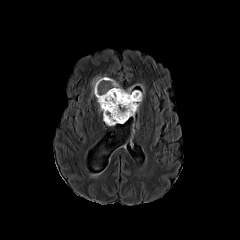
FLAIR MR image.
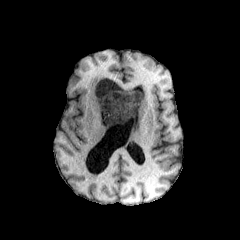
Same slice, T1-weighted MRI.
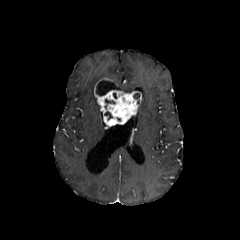
Post-contrast T1-weighted MR.
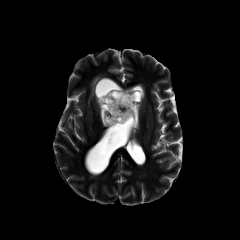
T2-weighted MR.
Axial plane
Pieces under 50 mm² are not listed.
necrotic tumor core — (96,80,119,95)
peritumoral edema — (113,80,132,92), (91,76,108,95)
enhancing tumor — (94,78,141,126)